FLAIR MR image.
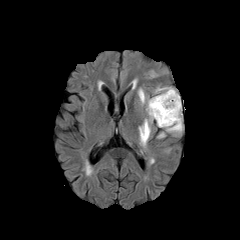
T1-weighted magnetic resonance.
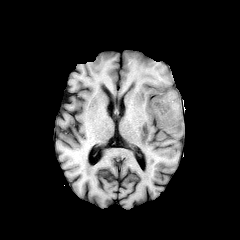
Post-contrast T1-weighted MR image.
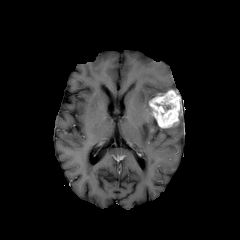
T2-weighted MR.
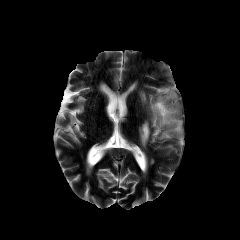
Image size 240x240. Head.
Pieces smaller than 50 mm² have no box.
The necrotic tumor core appears at box(158, 97, 171, 112). The 4 largest peritumoral edema regions appear at box(139, 89, 145, 103); box(156, 87, 172, 93); box(139, 119, 150, 147); box(166, 113, 182, 134). The enhancing tumor is located at box(149, 89, 181, 128).